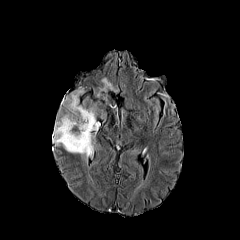
FLAIR MR.
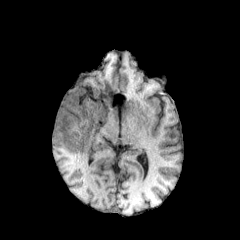
T1-weighted MRI.
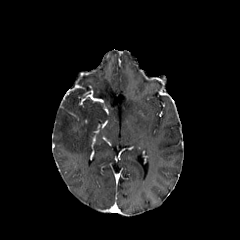
Same slice, post-contrast T1-weighted magnetic resonance.
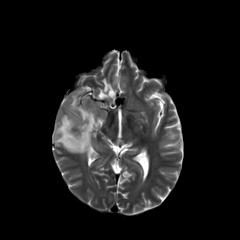
Same slice, T2-weighted MR.
Brain, Axial slice
peritumoral_edema:
  - (left=52, top=89, right=99, bottom=157)
  - (left=97, top=77, right=120, bottom=96)